FLAIR MR image.
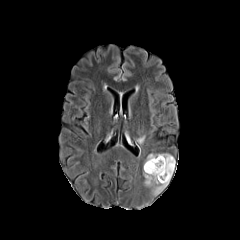
T1-weighted magnetic resonance.
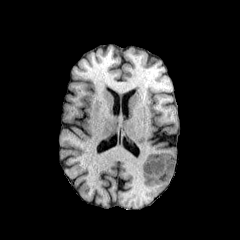
Post-contrast T1-weighted MR image.
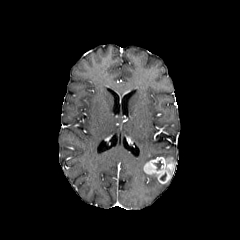
T2-weighted MR.
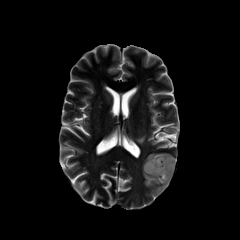
Head. Image size 240x240.
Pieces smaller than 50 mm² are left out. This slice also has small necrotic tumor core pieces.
{
  "peritumoral_edema": [
    "(x1=143, y1=170, x2=168, y2=195)",
    "(x1=144, y1=153, x2=172, y2=164)",
    "(x1=136, y1=136, x2=144, y2=144)"
  ],
  "enhancing_tumor": [
    "(x1=143, y1=156, x2=175, y2=183)"
  ]
}